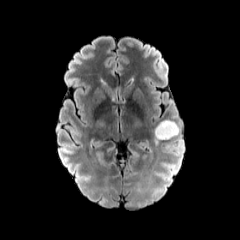
FLAIR MR.
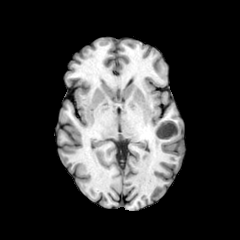
T1-weighted MR of the same slice.
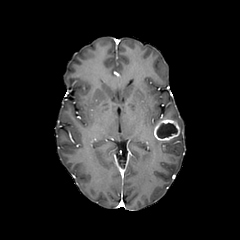
Same slice, post-contrast T1-weighted magnetic resonance.
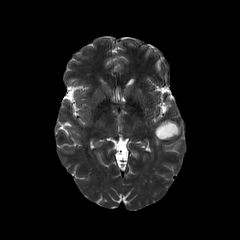
T2-weighted MR image.
Brain
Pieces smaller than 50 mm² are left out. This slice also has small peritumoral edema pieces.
{"necrotic_tumor_core": ["(156, 123, 177, 138)"], "enhancing_tumor": ["(154, 119, 180, 140)"]}